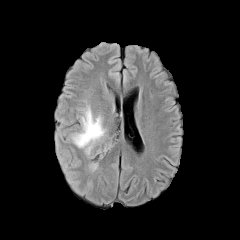
FLAIR MR image.
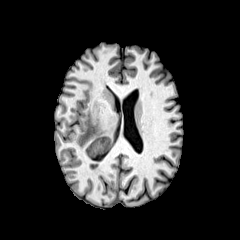
T1-weighted magnetic resonance.
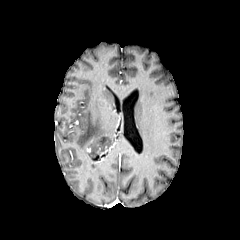
Post-contrast T1-weighted MR image.
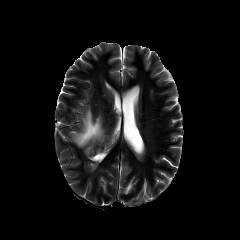
Same slice, T2-weighted MRI.
Axial slice
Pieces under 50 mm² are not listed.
The largest peritumoral edema region is located at {"x1": 72, "y1": 106, "x2": 110, "y2": 157}.